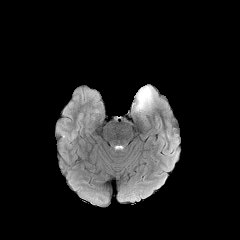
FLAIR magnetic resonance.
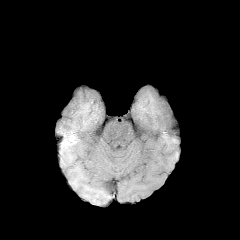
T1-weighted MRI.
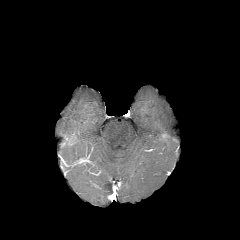
Same slice, post-contrast T1-weighted MR.
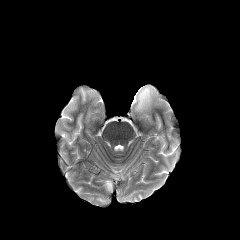
T2-weighted MR image.
Head; Image size 240x240
peritumoral edema: [133,85,159,113]